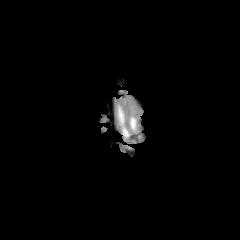
FLAIR magnetic resonance.
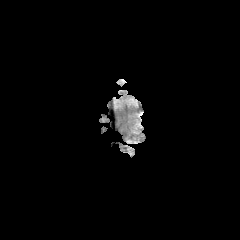
T1-weighted MR of the same slice.
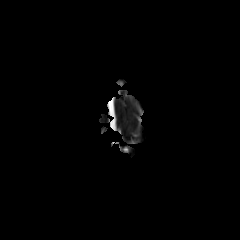
Post-contrast T1-weighted MR image.
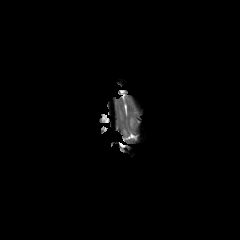
T2-weighted MR of the same slice.
240x240 px.
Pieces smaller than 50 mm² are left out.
<segmentation>
  <peritumoral_edema>[x1=118, y1=106, x2=122, y2=122], [x1=130, y1=117, x2=135, y2=129]</peritumoral_edema>
</segmentation>